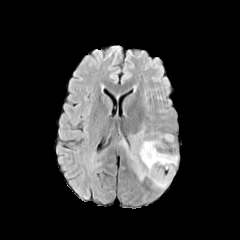
FLAIR magnetic resonance.
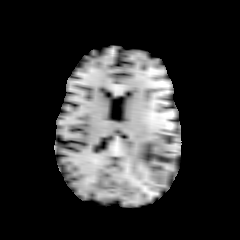
T1-weighted MR of the same slice.
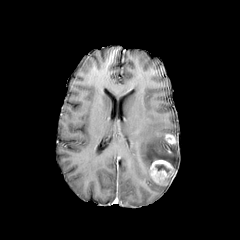
Same slice, post-contrast T1-weighted MR.
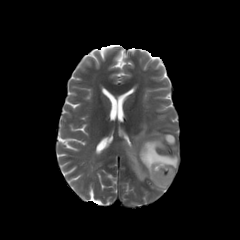
T2-weighted MR of the same slice.
Head, Axial view
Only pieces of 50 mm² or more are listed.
necrotic tumor core = [x1=156, y1=165, x2=169, y2=171]
enhancing tumor = [x1=149, y1=159, x2=174, y2=184], [x1=165, y1=134, x2=175, y2=144]
peritumoral edema = [x1=124, y1=124, x2=178, y2=189]